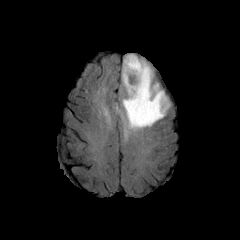
FLAIR MR.
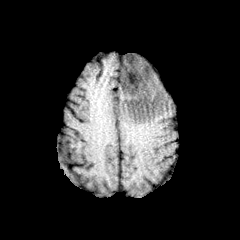
Same slice, T1-weighted MR image.
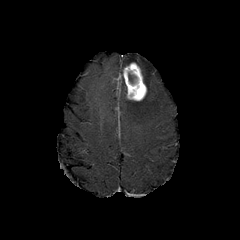
Post-contrast T1-weighted magnetic resonance of the same slice.
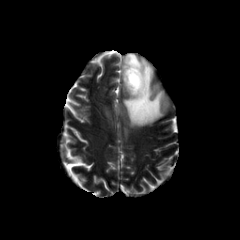
T2-weighted MRI of the same slice.
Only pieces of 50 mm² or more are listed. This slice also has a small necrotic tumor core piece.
The enhancing tumor is located at l=123, t=62, r=147, b=101. The largest peritumoral edema region lies within l=122, t=54, r=169, b=129.